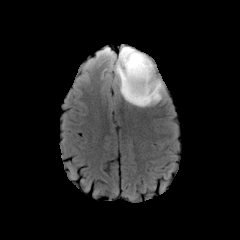
FLAIR MRI.
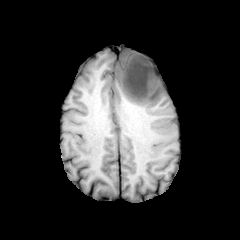
Same slice, T1-weighted MR image.
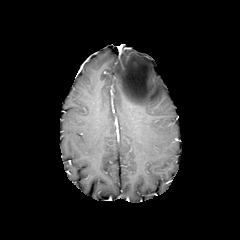
Post-contrast T1-weighted MR image of the same slice.
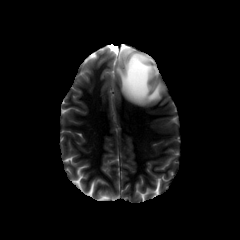
T2-weighted magnetic resonance.
Image size 240x240, Axial plane
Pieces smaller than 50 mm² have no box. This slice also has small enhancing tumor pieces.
The largest peritumoral edema region appears at l=114, t=46, r=164, b=106.